FLAIR MR image.
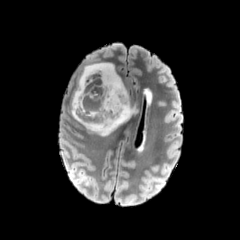
T1-weighted MRI.
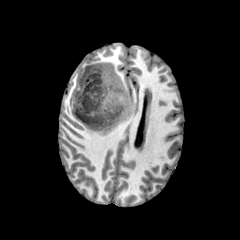
Post-contrast T1-weighted MRI.
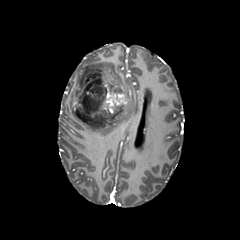
T2-weighted magnetic resonance.
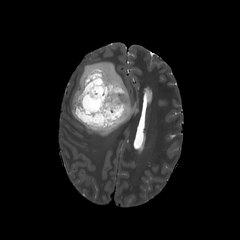
Brain; Axial plane; 240x240
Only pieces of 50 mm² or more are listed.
peritumoral_edema:
  - 71 62 136 136
enhancing_tumor:
  - 73 71 128 124
necrotic_tumor_core:
  - 75 73 108 124